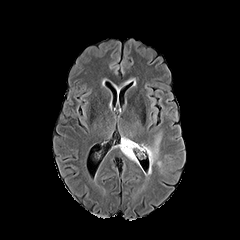
FLAIR MR.
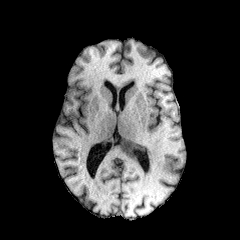
T1-weighted MR.
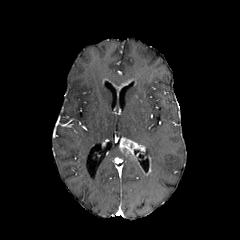
Post-contrast T1-weighted MR of the same slice.
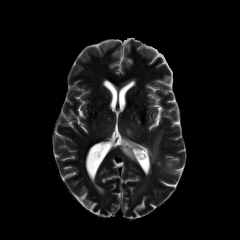
Same slice, T2-weighted magnetic resonance.
240x240 | Axial view | Brain
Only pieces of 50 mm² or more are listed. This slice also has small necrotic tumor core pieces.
The largest peritumoral edema region is at left=146, top=135, right=160, bottom=163. The enhancing tumor is bounded by left=119, top=137, right=146, bottom=160.